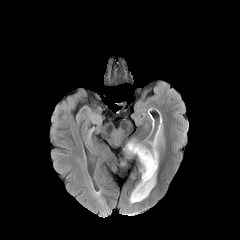
FLAIR magnetic resonance.
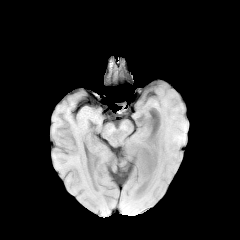
T1-weighted MR image of the same slice.
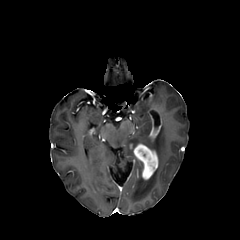
Same slice, post-contrast T1-weighted MR.
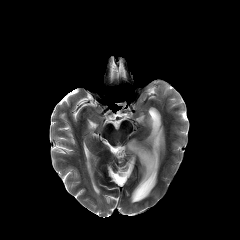
Same slice, T2-weighted MRI.
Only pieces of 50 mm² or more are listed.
Segmented structures:
* peritumoral edema: l=147, t=123, r=163, b=159; l=129, t=168, r=157, b=203; l=124, t=139, r=142, b=155
* enhancing tumor: l=133, t=144, r=158, b=179